Slice 119 of 155
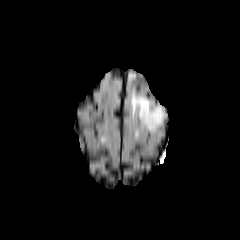
FLAIR magnetic resonance.
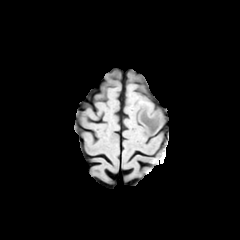
T1-weighted MR image of the same slice.
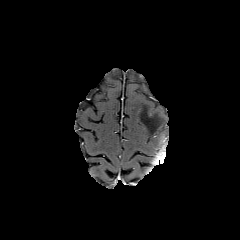
Post-contrast T1-weighted MR image.
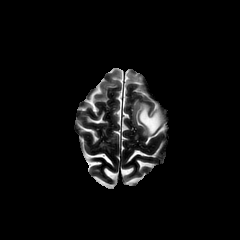
T2-weighted magnetic resonance.
Annotated regions:
• enhancing tumor: <box>155,107,165,116</box>
• peritumoral edema: <box>132,96,165,133</box>